Axial slice; Image width 240 mm, 1.00 mm slice spacing; 240x240
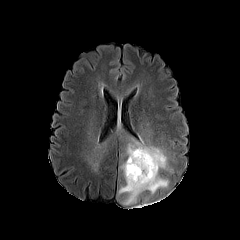
FLAIR MR.
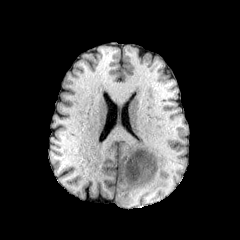
Same slice, T1-weighted MRI.
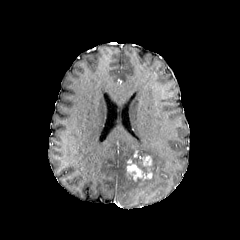
Post-contrast T1-weighted MRI.
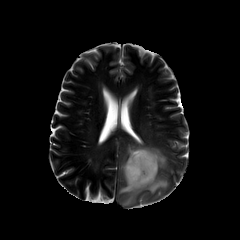
T2-weighted magnetic resonance of the same slice.
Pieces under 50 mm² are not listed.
necrotic tumor core: box=[130, 151, 148, 174]
peritumoral edema: box=[118, 140, 168, 205]
enhancing tumor: box=[126, 155, 152, 181]